FLAIR MR image.
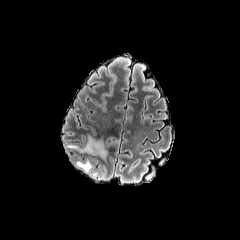
T1-weighted MR.
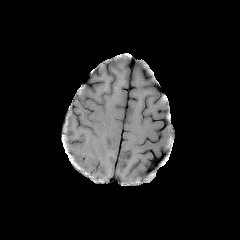
Post-contrast T1-weighted MRI.
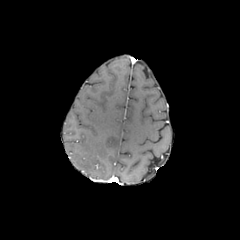
T2-weighted magnetic resonance.
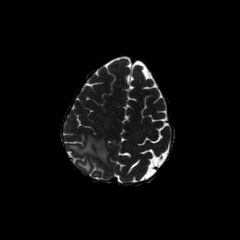
Axial view, Head
* peritumoral edema: 68 136 107 160, 76 161 91 172